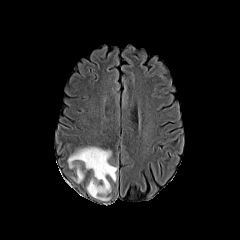
FLAIR MRI.
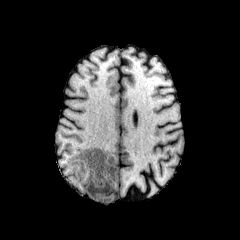
Same slice, T1-weighted MR image.
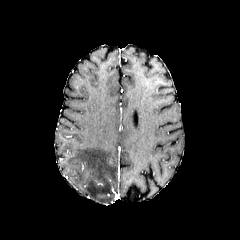
Post-contrast T1-weighted magnetic resonance of the same slice.
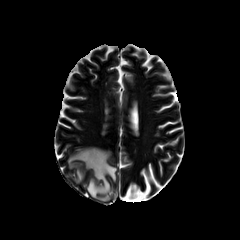
Same slice, T2-weighted magnetic resonance.
Annotated regions:
- peritumoral edema: x1=67 y1=146 x2=118 y2=201